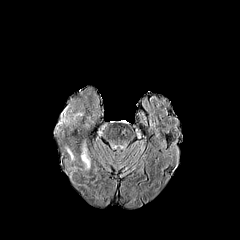
FLAIR magnetic resonance.
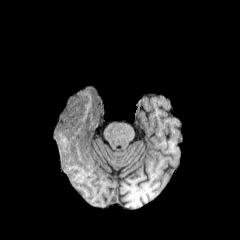
T1-weighted MR of the same slice.
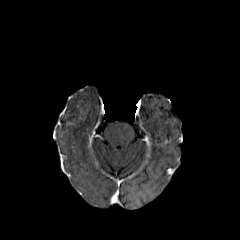
Post-contrast T1-weighted MR.
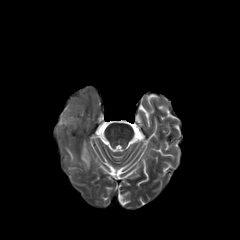
T2-weighted magnetic resonance of the same slice.
Axial view. Brain.
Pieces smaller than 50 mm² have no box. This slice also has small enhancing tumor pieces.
The largest necrotic tumor core region is bounded by box=[60, 107, 78, 126]. The largest peritumoral edema region is bounded by box=[81, 147, 89, 168].